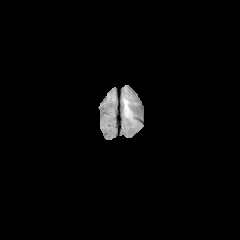
FLAIR MRI.
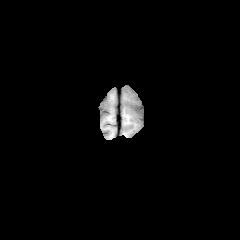
T1-weighted MR image.
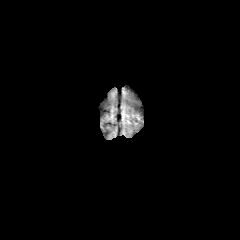
Same slice, post-contrast T1-weighted MR.
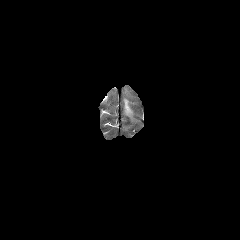
T2-weighted magnetic resonance of the same slice.
Head. Image size 240x240.
peritumoral edema — left=123, top=99, right=131, bottom=116